Head, Axial slice, Slice 58 of 155
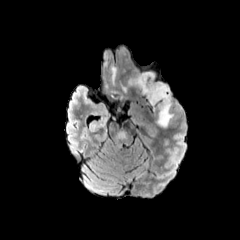
FLAIR MRI.
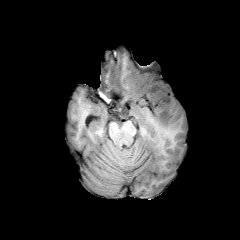
T1-weighted magnetic resonance of the same slice.
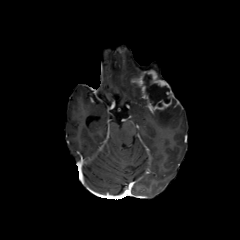
Same slice, post-contrast T1-weighted MR.
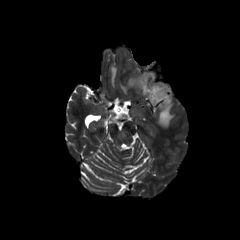
Same slice, T2-weighted magnetic resonance.
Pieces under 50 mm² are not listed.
The 3 largest peritumoral edema regions are bounded by [128, 73, 140, 93], [155, 102, 173, 128], [110, 65, 116, 85]. The enhancing tumor is bounded by [130, 65, 173, 111]. The necrotic tumor core appears at [143, 74, 169, 106].